FLAIR magnetic resonance.
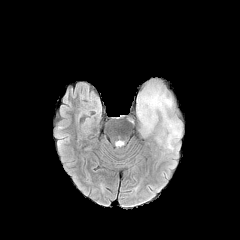
T1-weighted MRI.
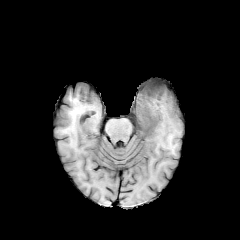
Post-contrast T1-weighted MRI.
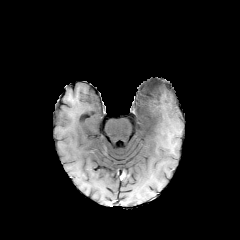
T2-weighted MRI.
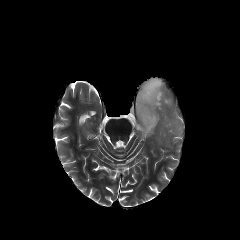
Axial plane
The peritumoral edema lies within left=134, top=78, right=183, bottom=147.